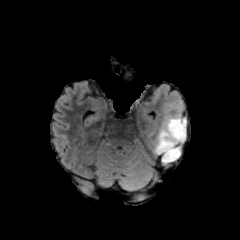
FLAIR MRI.
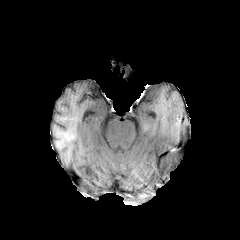
T1-weighted MR image.
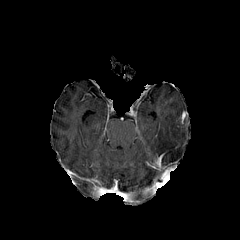
Post-contrast T1-weighted MRI of the same slice.
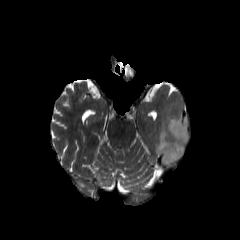
Same slice, T2-weighted MR.
Head, Axial view
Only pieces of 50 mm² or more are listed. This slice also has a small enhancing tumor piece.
peritumoral_edema:
  - left=155, top=115, right=186, bottom=165